FLAIR magnetic resonance.
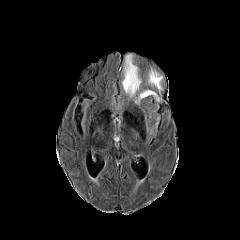
T1-weighted MR image.
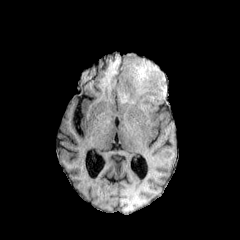
Post-contrast T1-weighted MR image.
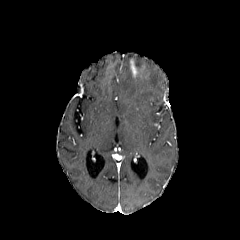
T2-weighted MRI.
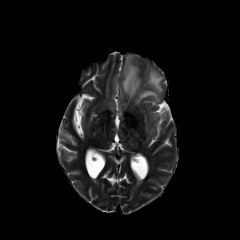
Head; Axial slice
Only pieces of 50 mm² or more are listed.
The largest enhancing tumor region is at x1=130 y1=59 x2=138 y2=77. The 2 largest peritumoral edema regions are bounded by x1=147 y1=69 x2=162 y2=93, x1=122 y1=54 x2=159 y2=104.